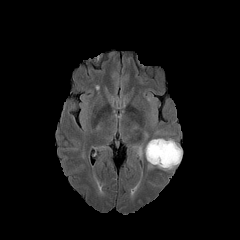
FLAIR magnetic resonance.
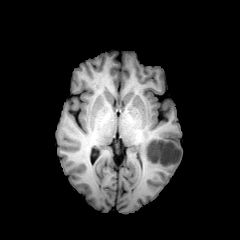
T1-weighted MR of the same slice.
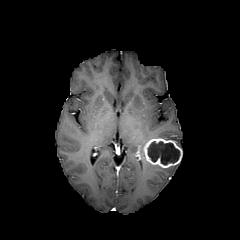
Post-contrast T1-weighted MR.
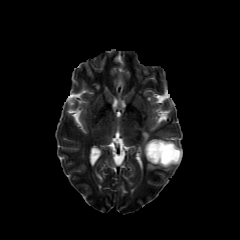
Same slice, T2-weighted magnetic resonance.
240x240 | Brain
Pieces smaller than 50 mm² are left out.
necrotic tumor core: region(148, 141, 179, 164)
peritumoral edema: region(148, 162, 176, 170); region(137, 145, 144, 156)
enhancing tumor: region(143, 138, 182, 167)